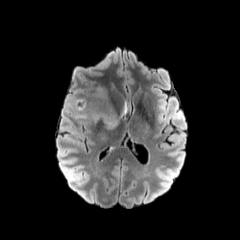
FLAIR MR.
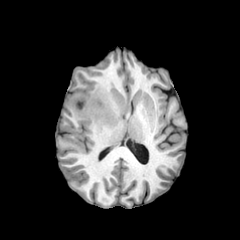
T1-weighted MR.
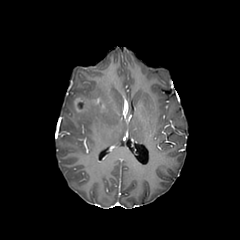
Same slice, post-contrast T1-weighted MR image.
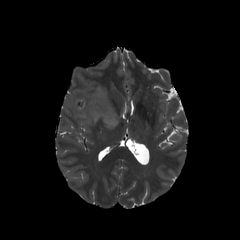
Same slice, T2-weighted MRI.
Axial plane
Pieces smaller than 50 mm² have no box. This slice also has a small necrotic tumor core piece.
peritumoral_edema:
  - {"x1": 77, "y1": 85, "x2": 118, "y2": 129}
enhancing_tumor:
  - {"x1": 74, "y1": 97, "x2": 104, "y2": 112}
  - {"x1": 123, "y1": 99, "x2": 128, "y2": 116}